FLAIR MR.
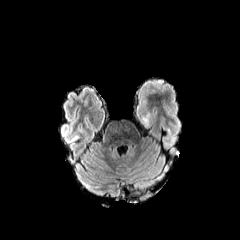
T1-weighted MR image.
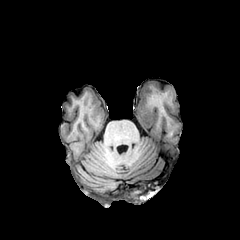
Post-contrast T1-weighted MR.
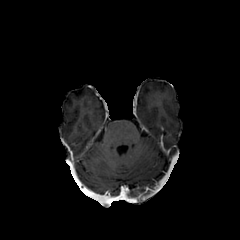
T2-weighted MR.
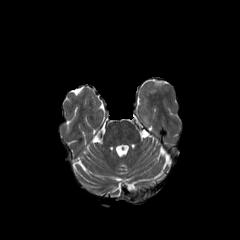
240x240 | Brain
The peritumoral edema is at <bbox>141, 113, 150, 126</bbox>.